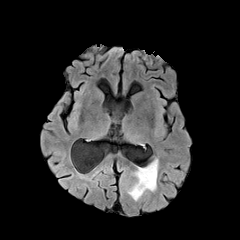
FLAIR magnetic resonance.
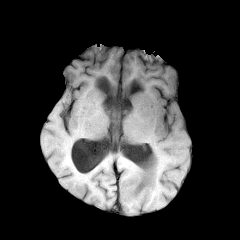
T1-weighted magnetic resonance.
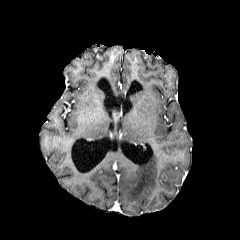
Post-contrast T1-weighted MR image.
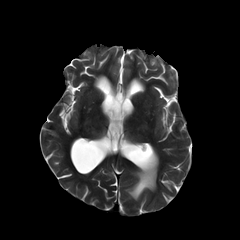
Same slice, T2-weighted MR image.
Image size 240x240
peritumoral edema: region(126, 157, 158, 200)